Slice index 32. Axial plane. Head.
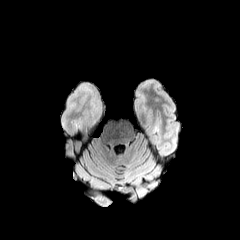
FLAIR MR.
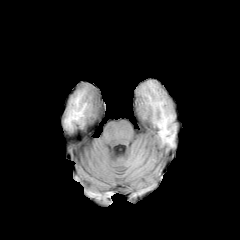
Same slice, T1-weighted MR image.
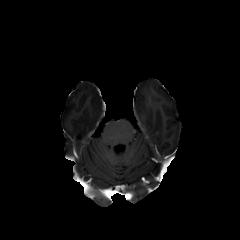
Post-contrast T1-weighted MR image of the same slice.
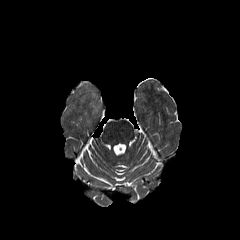
T2-weighted magnetic resonance of the same slice.
The peritumoral edema is at <bbox>83, 85, 100, 104</bbox>.